Image size 240x240. Brain.
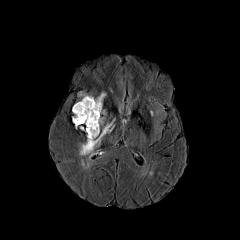
FLAIR MR.
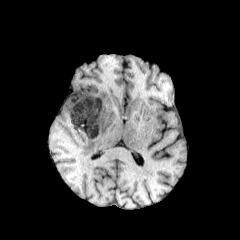
T1-weighted MR of the same slice.
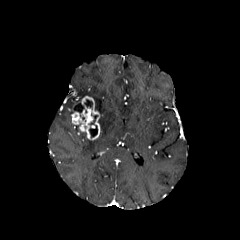
Same slice, post-contrast T1-weighted MR image.
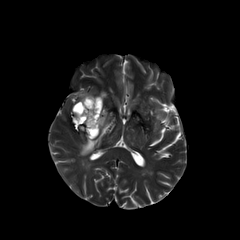
Same slice, T2-weighted MR.
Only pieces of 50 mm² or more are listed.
Annotated regions:
- enhancing tumor: x1=72, y1=96, x2=100, y2=140
- necrotic tumor core: x1=84, y1=99, x2=92, y2=107; x1=89, y1=125, x2=97, y2=137; x1=73, y1=103, x2=84, y2=113
- peritumoral edema: x1=79, y1=120, x2=114, y2=155; x1=94, y1=92, x2=106, y2=114